Slice 112 of 155. Image covers 240 mm x 240 mm.
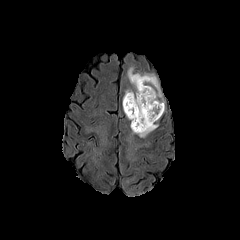
FLAIR MR image.
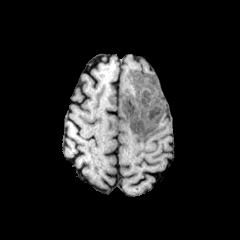
T1-weighted magnetic resonance.
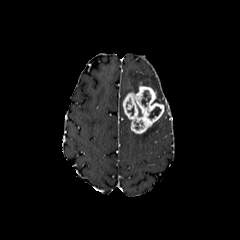
Post-contrast T1-weighted MR.
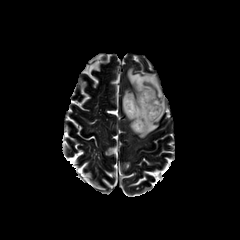
Same slice, T2-weighted MR.
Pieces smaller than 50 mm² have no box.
The largest enhancing tumor region is located at [x1=122, y1=82, x2=164, y2=134]. The 2 largest necrotic tumor core regions are bounded by [x1=149, y1=107, x2=160, y2=118], [x1=141, y1=91, x2=150, y2=106]. The 2 largest peritumoral edema regions are bounded by [x1=137, y1=123, x2=158, y2=137], [x1=123, y1=67, x2=164, y2=105].